240x240.
FLAIR MR image.
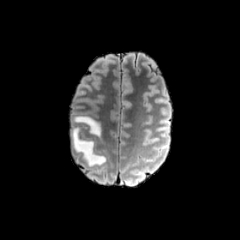
T1-weighted MR.
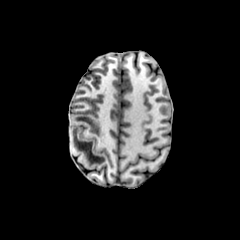
Post-contrast T1-weighted MR.
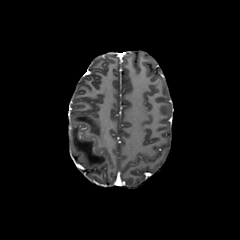
T2-weighted MR.
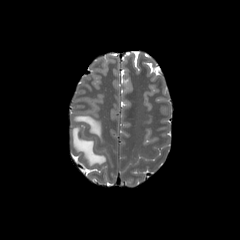
peritumoral_edema:
  - [x1=73, y1=115, x2=101, y2=136]
  - [x1=71, y1=127, x2=105, y2=166]